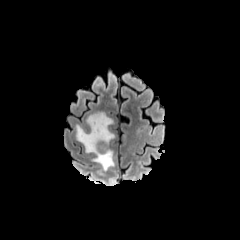
FLAIR magnetic resonance.
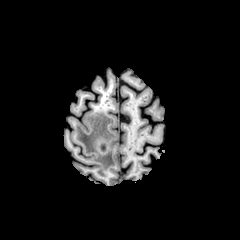
T1-weighted magnetic resonance.
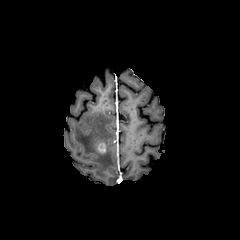
Same slice, post-contrast T1-weighted MRI.
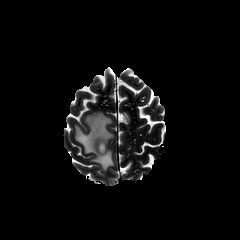
T2-weighted MR of the same slice.
Image size 240x240, Axial view
peritumoral edema: bounding box 76:112:114:171
enhancing tumor: bounding box 97:143:105:153